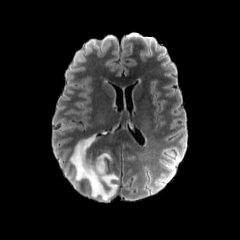
FLAIR magnetic resonance.
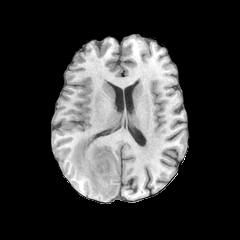
T1-weighted magnetic resonance.
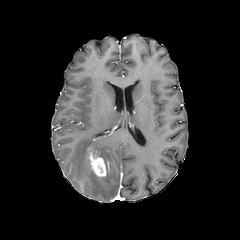
Post-contrast T1-weighted magnetic resonance.
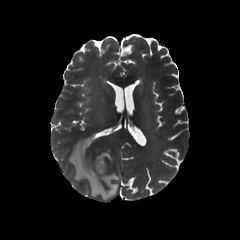
T2-weighted MR.
Brain, Axial view
enhancing tumor: 89,153,106,177
peritumoral edema: 70,136,118,200